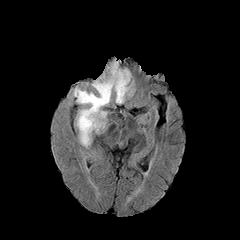
FLAIR magnetic resonance.
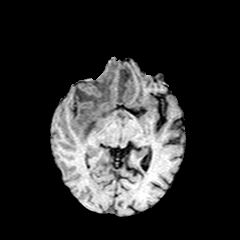
T1-weighted MR.
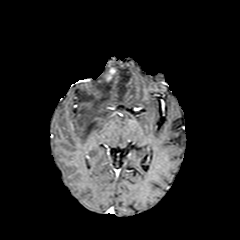
Post-contrast T1-weighted magnetic resonance of the same slice.
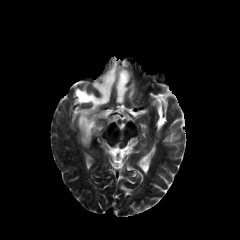
Same slice, T2-weighted MR image.
240x240 px, Brain
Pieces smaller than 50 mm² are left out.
Findings:
• peritumoral edema: (x1=74, y1=60, x2=133, y2=146)
• enhancing tumor: (x1=104, y1=67, x2=116, y2=82)